Axial slice | Slice 59/155 | Head | Image width 240 mm
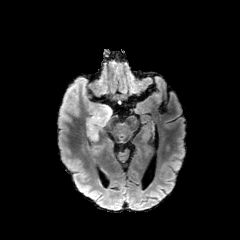
FLAIR MR.
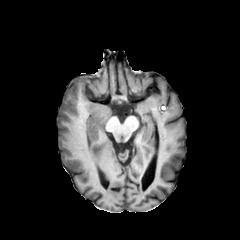
T1-weighted MR.
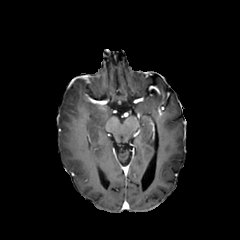
Post-contrast T1-weighted MR image.
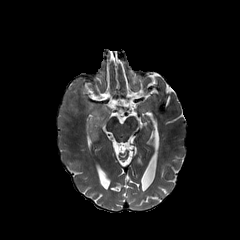
T2-weighted magnetic resonance of the same slice.
* peritumoral edema: 59,78,112,141